Axial view | Image size 240x240 | Head
FLAIR MR.
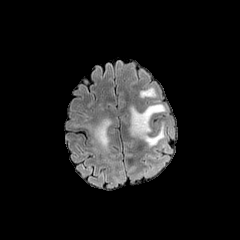
T1-weighted MR.
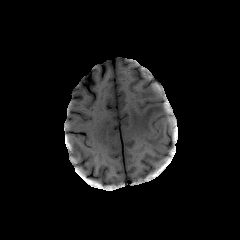
Post-contrast T1-weighted MR.
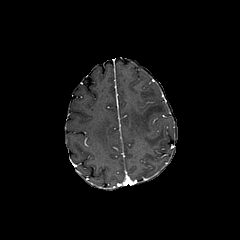
T2-weighted MRI.
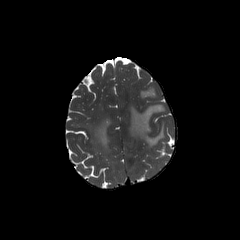
* peritumoral edema: box=[140, 87, 156, 98]; box=[88, 118, 111, 150]; box=[130, 104, 166, 146]